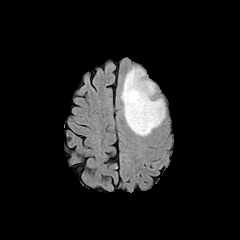
FLAIR MR image.
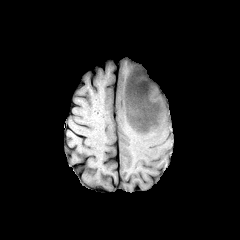
T1-weighted MR image of the same slice.
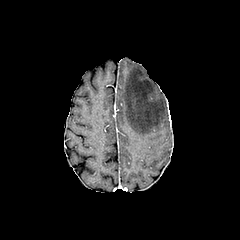
Post-contrast T1-weighted MR.
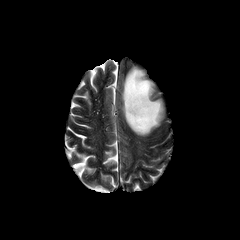
T2-weighted MR of the same slice.
Axial plane.
peritumoral edema: (121, 67, 164, 136)